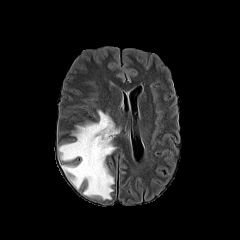
FLAIR MRI.
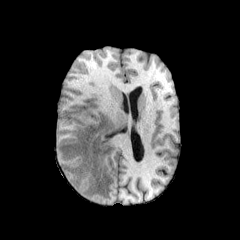
T1-weighted magnetic resonance of the same slice.
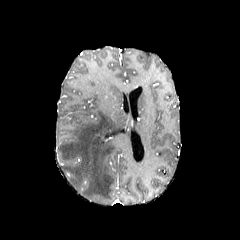
Same slice, post-contrast T1-weighted magnetic resonance.
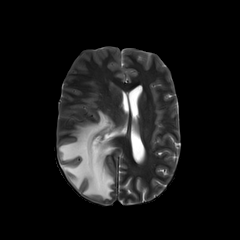
Same slice, T2-weighted MR.
The peritumoral edema is bounded by (58,110,119,199).